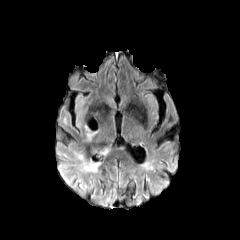
FLAIR MRI.
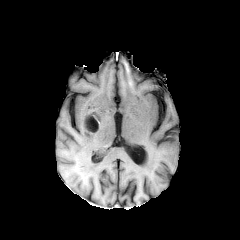
T1-weighted MR.
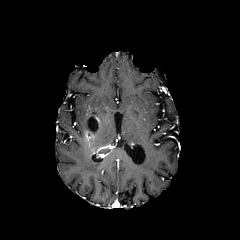
Post-contrast T1-weighted MRI of the same slice.
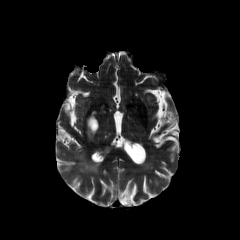
T2-weighted MR.
Brain.
enhancing tumor: x1=81, y1=113, x2=100, y2=156 | necrotic tumor core: x1=87, y1=116, x2=97, y2=133 | peritumoral edema: x1=77, y1=153, x2=99, y2=172